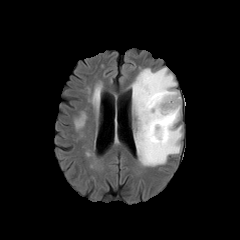
FLAIR magnetic resonance.
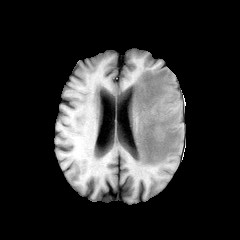
Same slice, T1-weighted magnetic resonance.
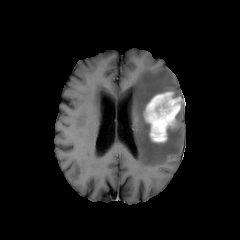
Post-contrast T1-weighted MRI of the same slice.
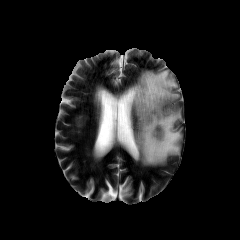
T2-weighted MR.
Head. Axial plane.
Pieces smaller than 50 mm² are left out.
Annotated regions:
• peritumoral edema: [132,67,182,166]
• enhancing tumor: [144,91,181,142]